FLAIR MRI.
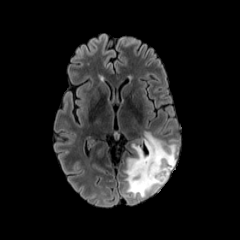
T1-weighted MRI.
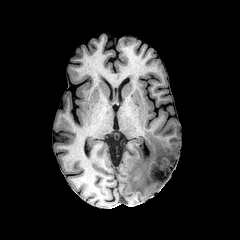
Post-contrast T1-weighted MR image.
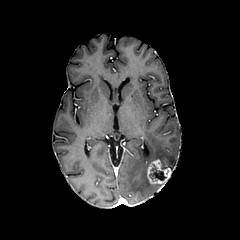
T2-weighted MR image.
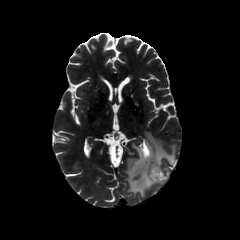
240x240.
The necrotic tumor core lies within (150, 166, 166, 180). The enhancing tumor is bounded by (147, 159, 171, 184). The peritumoral edema is located at (124, 131, 176, 197).